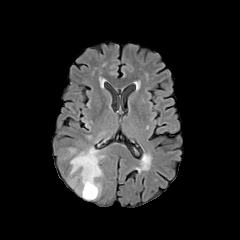
FLAIR MR image.
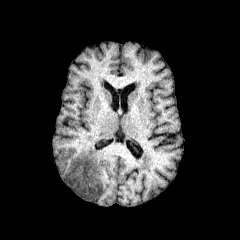
T1-weighted MR.
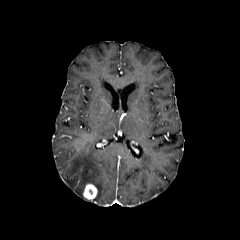
Post-contrast T1-weighted MR image of the same slice.
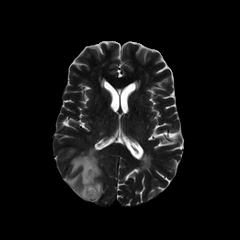
T2-weighted MRI.
Axial view | Head
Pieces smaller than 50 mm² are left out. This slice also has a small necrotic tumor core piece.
<segmentation>
  <enhancing_tumor><bbox>83, 183, 97, 200</bbox></enhancing_tumor>
  <peritumoral_edema><bbox>67, 146, 103, 198</bbox></peritumoral_edema>
</segmentation>